Image covers 240 mm x 240 mm; Axial plane; 240x240; Slice index 53; Brain
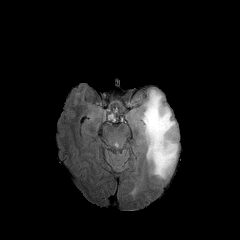
FLAIR magnetic resonance.
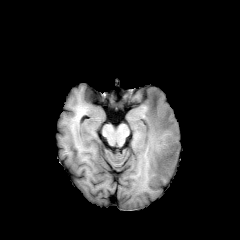
Same slice, T1-weighted MRI.
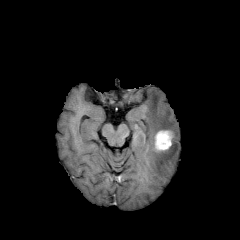
Same slice, post-contrast T1-weighted MRI.
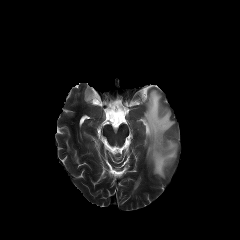
T2-weighted magnetic resonance of the same slice.
peritumoral edema: box(141, 89, 178, 178) | enhancing tumor: box(154, 130, 172, 151)